FLAIR MR image.
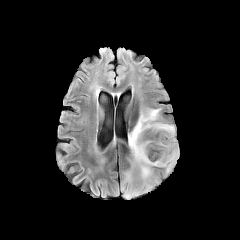
T1-weighted magnetic resonance.
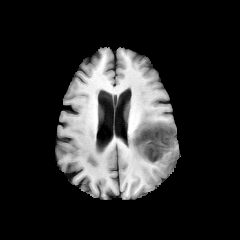
Post-contrast T1-weighted MR image.
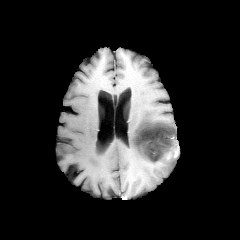
T2-weighted magnetic resonance.
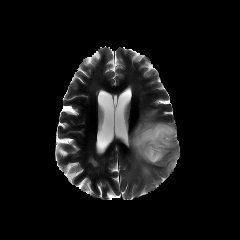
Axial slice, Brain
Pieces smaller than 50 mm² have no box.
{"necrotic_tumor_core": ["[136, 126, 177, 161]"], "enhancing_tumor": ["[135, 125, 178, 162]"], "peritumoral_edema": ["[128, 109, 177, 180]"]}